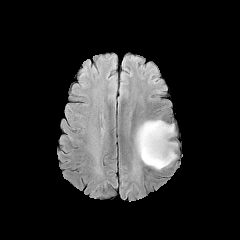
FLAIR MR image.
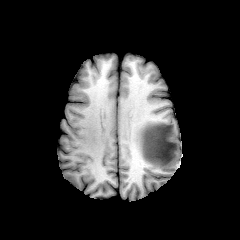
Same slice, T1-weighted MR.
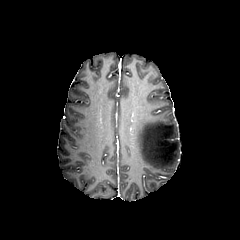
Post-contrast T1-weighted MR.
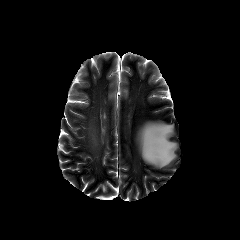
T2-weighted MR.
Axial plane. Brain.
* peritumoral edema: <box>136,120,177,169</box>